240x240; Slice 94/155; Head; Image width 240 mm, 1.00 mm slice spacing
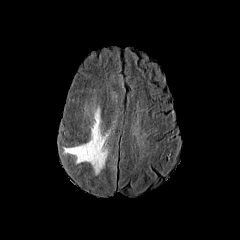
FLAIR MR image.
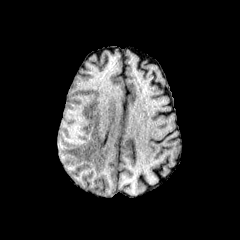
T1-weighted MR.
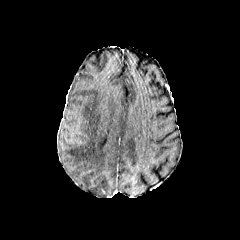
Same slice, post-contrast T1-weighted MR image.
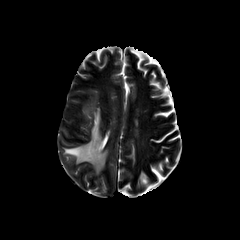
Same slice, T2-weighted magnetic resonance.
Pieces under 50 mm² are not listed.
peritumoral edema at (left=63, top=106, right=109, bottom=174)